Brain | Slice 121/155 | Axial plane
FLAIR MR image.
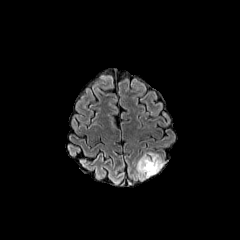
T1-weighted MR.
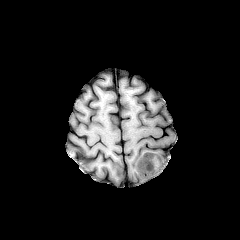
Post-contrast T1-weighted magnetic resonance.
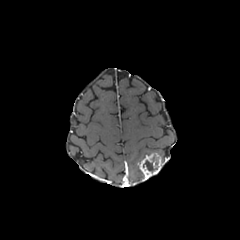
T2-weighted MR.
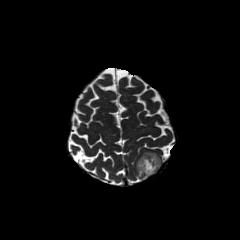
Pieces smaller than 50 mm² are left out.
Annotated regions:
- peritumoral edema: box=[136, 152, 154, 178]
- necrotic tumor core: box=[143, 155, 158, 172]
- enhancing tumor: box=[138, 153, 162, 178]